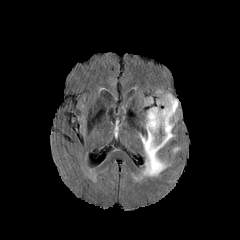
FLAIR MRI.
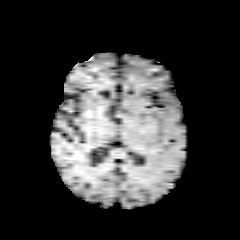
T1-weighted MR.
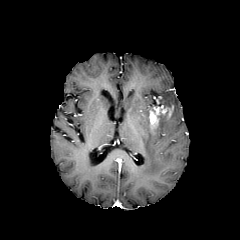
Post-contrast T1-weighted MR image.
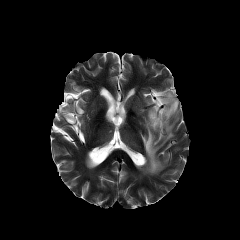
Same slice, T2-weighted MRI.
Head.
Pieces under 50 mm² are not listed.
{"peritumoral_edema": ["(left=140, top=90, right=178, bottom=175)"], "enhancing_tumor": ["(left=149, top=105, right=173, bottom=129)"]}